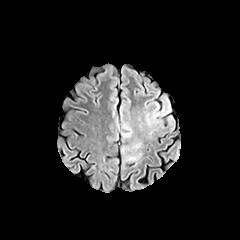
FLAIR MR image.
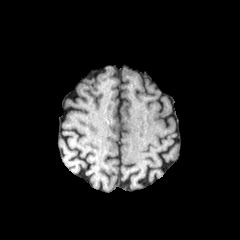
T1-weighted MR.
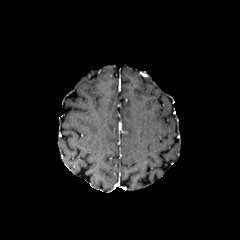
Same slice, post-contrast T1-weighted magnetic resonance.
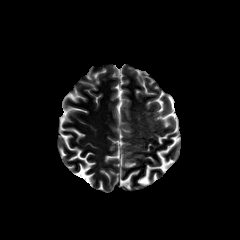
T2-weighted magnetic resonance.
Head | Axial plane
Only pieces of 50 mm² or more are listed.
The 2 largest peritumoral edema regions are located at x1=122 y1=126 x2=131 y2=137, x1=145 y1=112 x2=156 y2=126.